Head, Image covers 240 mm x 240 mm
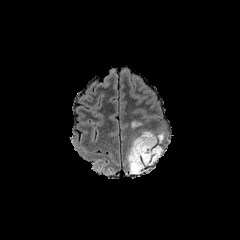
FLAIR MR image.
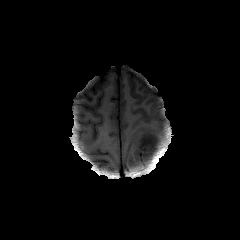
T1-weighted MR image.
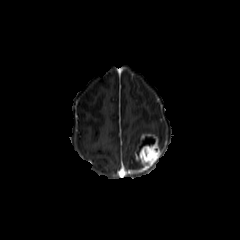
Post-contrast T1-weighted magnetic resonance.
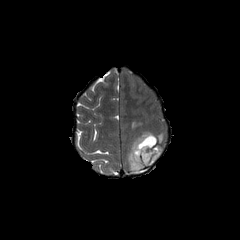
T2-weighted MR.
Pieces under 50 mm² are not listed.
- enhancing tumor: 135 133 163 170
- necrotic tumor core: 139 136 155 149
- peritumoral edema: 132 121 141 127, 155 130 165 147, 127 130 154 174